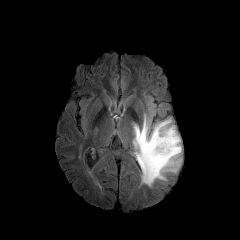
FLAIR MR image.
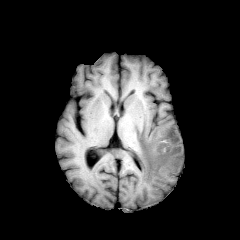
T1-weighted MR.
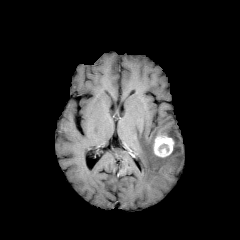
Post-contrast T1-weighted magnetic resonance of the same slice.
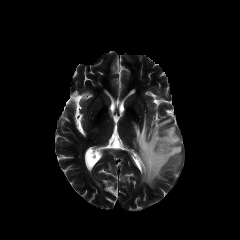
T2-weighted MR image.
enhancing_tumor:
  - left=154, top=135, right=174, bottom=157
peritumoral_edema:
  - left=133, top=116, right=182, bottom=186